FLAIR magnetic resonance.
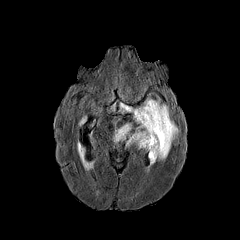
T1-weighted MR.
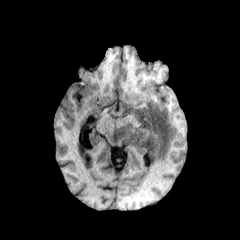
Post-contrast T1-weighted MR.
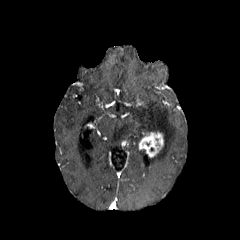
T2-weighted magnetic resonance.
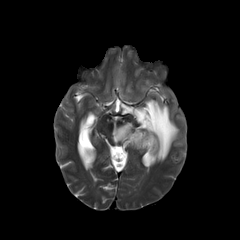
Axial plane, Head
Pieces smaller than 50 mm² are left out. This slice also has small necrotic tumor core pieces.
peritumoral edema = <box>113,98,178,165</box>
enhancing tumor = <box>138,131,163,157</box>